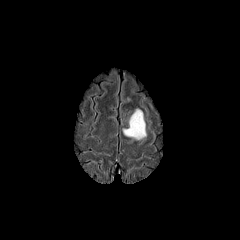
FLAIR magnetic resonance.
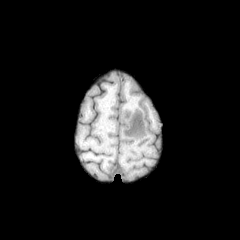
T1-weighted MR.
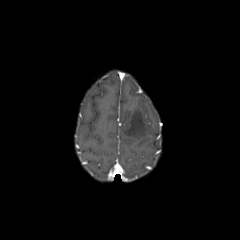
Same slice, post-contrast T1-weighted MR.
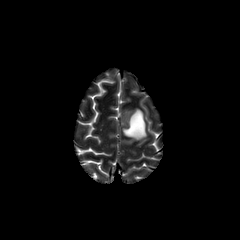
T2-weighted magnetic resonance.
Image size 240x240
<segmentation>
  <peritumoral_edema>(123,109,146,139)</peritumoral_edema>
</segmentation>